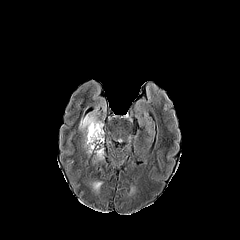
FLAIR MR image.
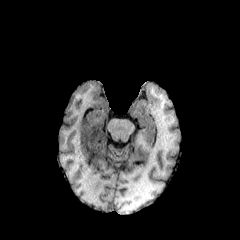
T1-weighted MR.
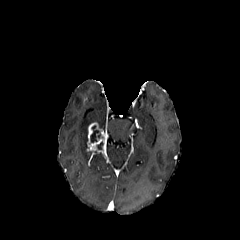
Post-contrast T1-weighted MRI.
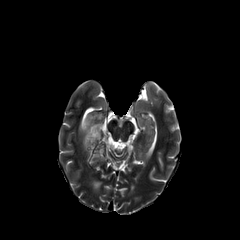
T2-weighted MR image.
240x240 px
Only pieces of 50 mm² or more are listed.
enhancing tumor — [x1=87, y1=122, x2=105, y2=154]
peritumoral edema — [x1=79, y1=109, x2=103, y2=148], [x1=92, y1=182, x2=101, y2=191], [x1=95, y1=151, x2=103, y2=159]
necrotic tumor core — [x1=90, y1=125, x2=100, y2=142]